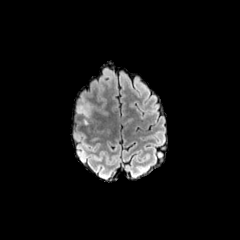
FLAIR MR image.
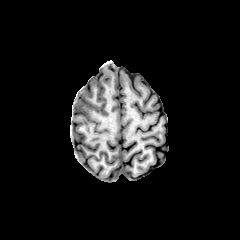
Same slice, T1-weighted MR.
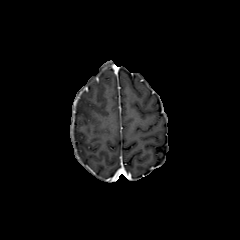
Post-contrast T1-weighted MRI of the same slice.
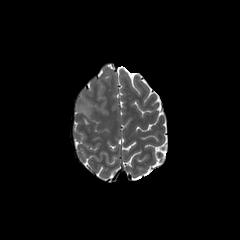
T2-weighted magnetic resonance.
240x240 px; Head
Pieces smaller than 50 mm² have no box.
Findings:
* peritumoral edema: x1=77 y1=98 x2=89 y2=115